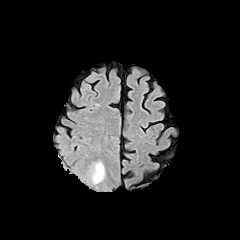
FLAIR magnetic resonance.
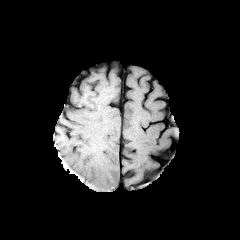
Same slice, T1-weighted MR image.
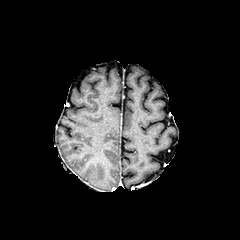
Post-contrast T1-weighted MR image of the same slice.
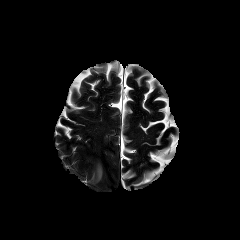
Same slice, T2-weighted magnetic resonance.
Axial slice | Image size 240x240 | Head
peritumoral edema = 92, 162, 104, 183